FLAIR MR.
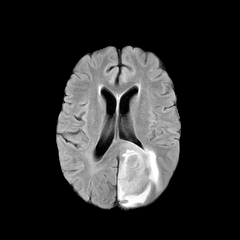
T1-weighted MR image.
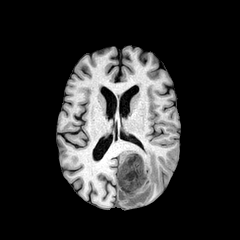
Post-contrast T1-weighted MR.
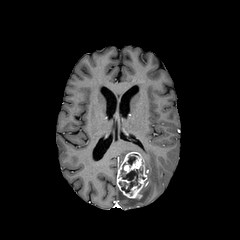
T2-weighted magnetic resonance.
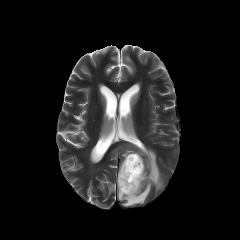
Brain
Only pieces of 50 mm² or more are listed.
peritumoral edema: bounding box x1=118, y1=143, x2=160, y2=206
enhancing tumor: bounding box x1=117, y1=152, x2=147, y2=198
necrotic tumor core: bounding box x1=127, y1=154, x2=138, y2=165; x1=119, y1=168, x2=142, y2=192